FLAIR MRI.
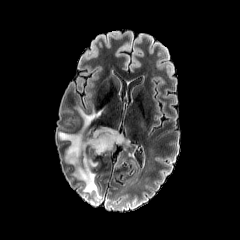
T1-weighted MR image.
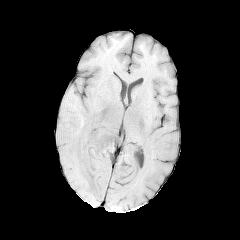
Post-contrast T1-weighted MR image.
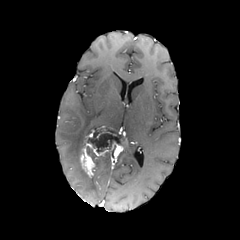
T2-weighted MR.
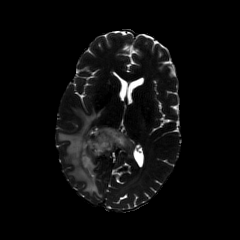
240x240 px
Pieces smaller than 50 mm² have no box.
peritumoral edema = <bbox>59, 107, 103, 197</bbox>
enhancing tumor = <bbox>80, 126, 129, 177</bbox>
necrotic tumor core = <bbox>87, 130, 120, 152</bbox>